Axial slice; Head
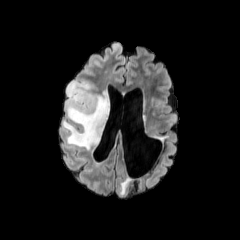
FLAIR magnetic resonance.
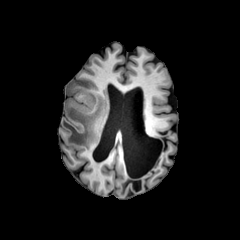
T1-weighted MRI.
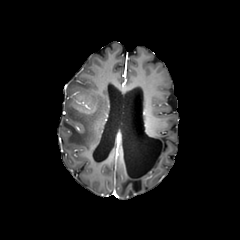
Same slice, post-contrast T1-weighted magnetic resonance.
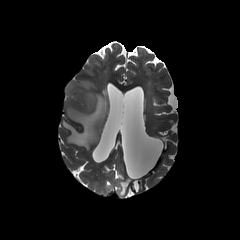
T2-weighted magnetic resonance of the same slice.
enhancing tumor: (76, 100, 90, 109)
peritumoral edema: (62, 81, 109, 149)